FLAIR magnetic resonance.
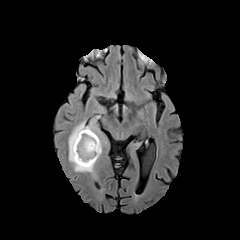
T1-weighted MR image.
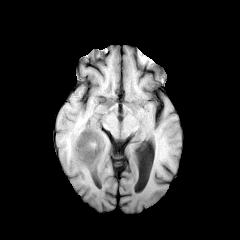
Post-contrast T1-weighted MRI.
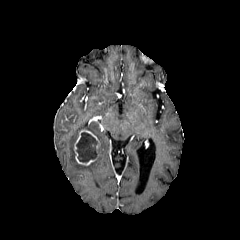
T2-weighted MRI.
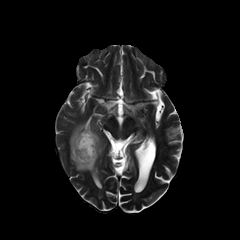
240x240 px. Head. Axial slice.
enhancing tumor — [74,130,100,165]
peritumoral edema — [75,84,85,95], [68,98,110,180]
necrotic tumor core — [76,132,97,162]